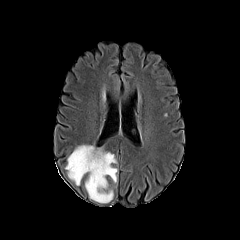
FLAIR MRI.
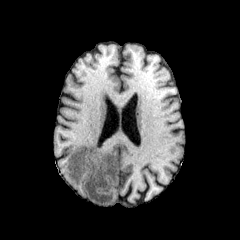
Same slice, T1-weighted MR image.
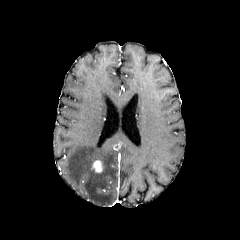
Post-contrast T1-weighted magnetic resonance of the same slice.
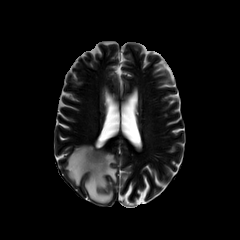
T2-weighted magnetic resonance.
Head | Axial plane
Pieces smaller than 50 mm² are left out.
The largest peritumoral edema region is bounded by (64,145,118,203). The enhancing tumor is at (92,160,102,172).